FLAIR MR image.
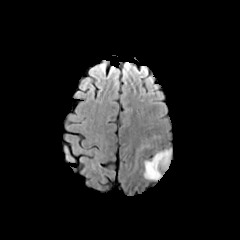
T1-weighted MR image.
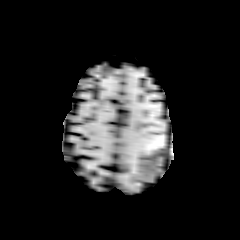
Post-contrast T1-weighted magnetic resonance.
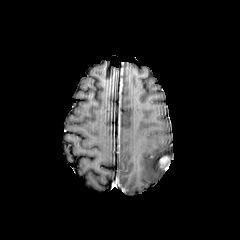
T2-weighted MRI.
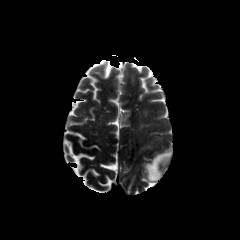
240x240
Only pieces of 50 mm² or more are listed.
enhancing tumor — 160, 156, 169, 164
peritumoral edema — 145, 149, 171, 180